FLAIR MR image.
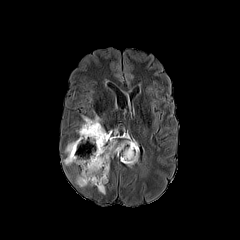
T1-weighted MR.
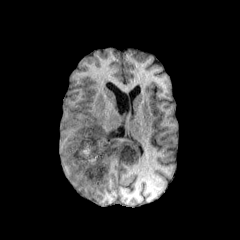
Post-contrast T1-weighted MR image.
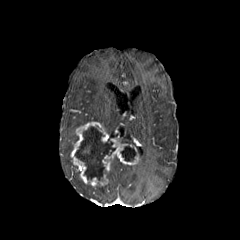
T2-weighted MRI.
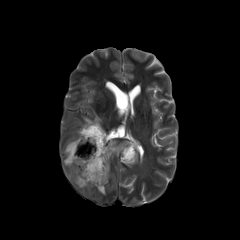
Axial view, Head, Image size 240x240
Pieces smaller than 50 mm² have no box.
The enhancing tumor lies within x1=70, y1=121, x2=138, y2=186. 2 necrotic tumor core regions are located at x1=121, y1=145, x2=136, y2=161; x1=75, y1=126, x2=115, y2=180. The 5 largest peritumoral edema regions are located at x1=121, y1=133, x2=135, y2=144; x1=82, y1=114, x2=101, y2=123; x1=96, y1=186, x2=105, y2=194; x1=75, y1=174, x2=90, y2=187; x1=63, y1=141, x2=75, y2=165.